FLAIR MR image.
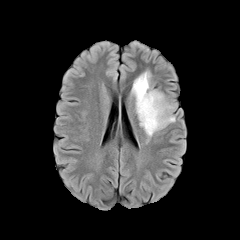
T1-weighted MRI.
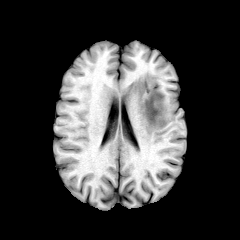
Post-contrast T1-weighted MRI.
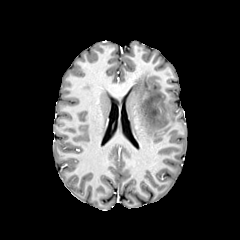
T2-weighted magnetic resonance.
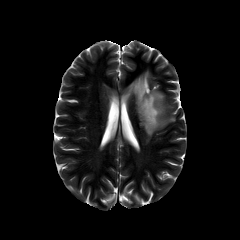
240x240 px. Brain.
- peritumoral edema: [x1=132, y1=71, x2=175, y2=142]